FLAIR magnetic resonance.
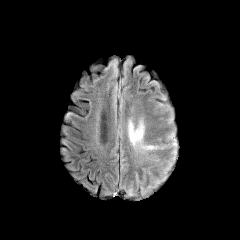
T1-weighted magnetic resonance.
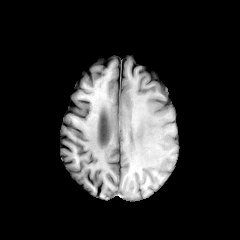
Post-contrast T1-weighted magnetic resonance.
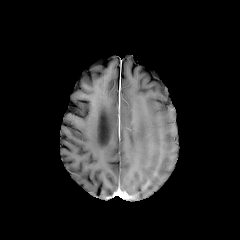
T2-weighted MRI.
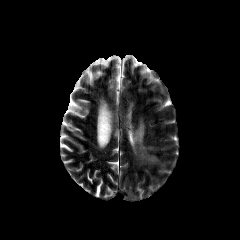
The peritumoral edema appears at box(129, 124, 143, 145).